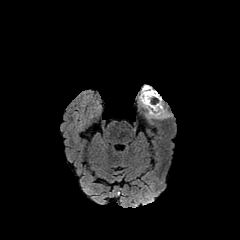
FLAIR magnetic resonance.
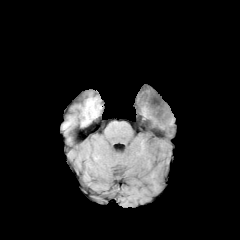
T1-weighted MRI.
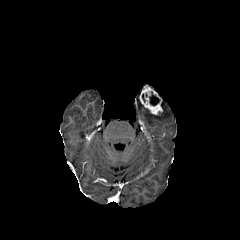
Post-contrast T1-weighted MRI.
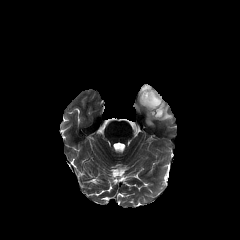
T2-weighted MR.
Brain. Image size 240x240.
<segmentation>
  <enhancing_tumor>x1=139 y1=85 x2=162 y2=115</enhancing_tumor>
  <peritumoral_edema>x1=138 y1=97 x2=172 y2=123</peritumoral_edema>
  <necrotic_tumor_core>x1=149 y1=96 x2=159 y2=105</necrotic_tumor_core>
</segmentation>